Axial slice; Slice 54/155
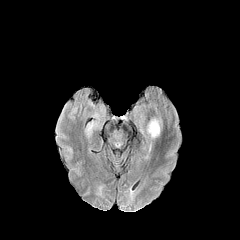
FLAIR MR.
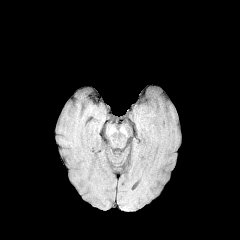
Same slice, T1-weighted MR.
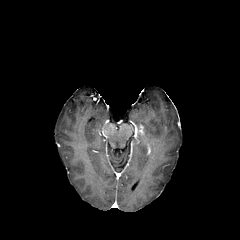
Post-contrast T1-weighted magnetic resonance.
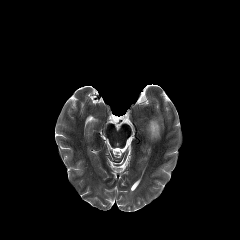
Same slice, T2-weighted MRI.
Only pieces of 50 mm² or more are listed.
peritumoral edema: 146:118:161:143